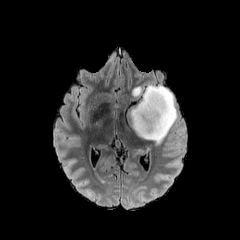
FLAIR MRI.
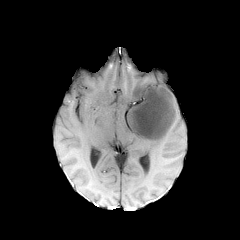
T1-weighted MR image.
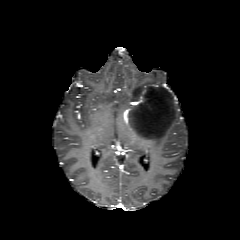
Post-contrast T1-weighted MRI.
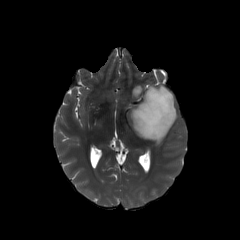
T2-weighted MR image of the same slice.
Axial plane | Head
Segmented structures:
- peritumoral edema: box(127, 85, 177, 144)